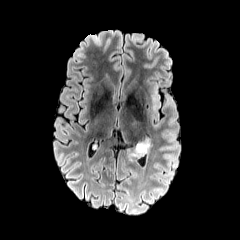
FLAIR magnetic resonance.
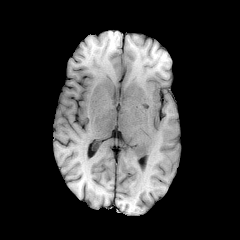
T1-weighted MRI of the same slice.
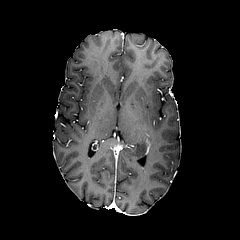
Same slice, post-contrast T1-weighted MR.
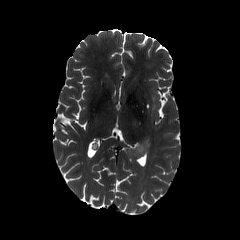
Same slice, T2-weighted MRI.
Brain, Axial plane
peritumoral edema at 134:138:150:156